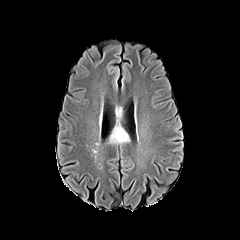
FLAIR MR.
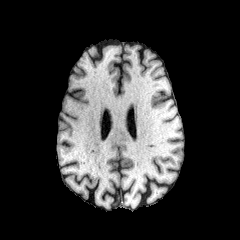
T1-weighted MRI.
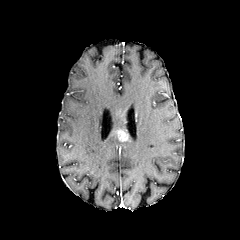
Post-contrast T1-weighted MR image.
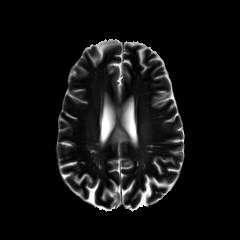
Same slice, T2-weighted magnetic resonance.
Head
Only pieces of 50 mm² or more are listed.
<segmentation>
  <enhancing_tumor>left=116, top=130, right=128, bottom=141</enhancing_tumor>
  <peritumoral_edema>left=109, top=106, right=126, bottom=143</peritumoral_edema>
</segmentation>